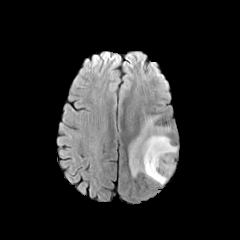
FLAIR MRI.
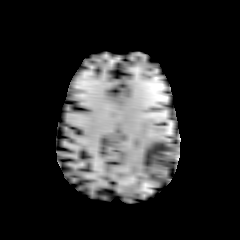
T1-weighted MR image of the same slice.
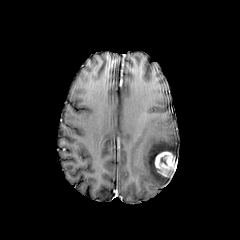
Post-contrast T1-weighted MR image.
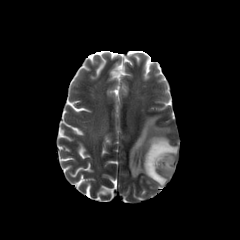
T2-weighted magnetic resonance.
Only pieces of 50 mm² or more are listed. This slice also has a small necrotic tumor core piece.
peritumoral edema: bbox=[130, 116, 177, 185] | enhancing tumor: bbox=[155, 151, 174, 176]